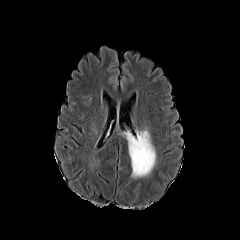
FLAIR magnetic resonance.
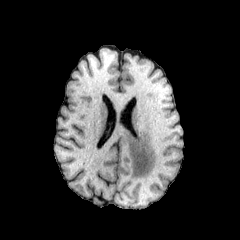
T1-weighted magnetic resonance of the same slice.
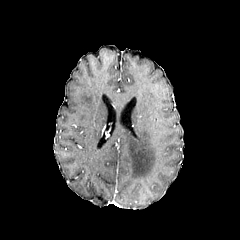
Post-contrast T1-weighted magnetic resonance.
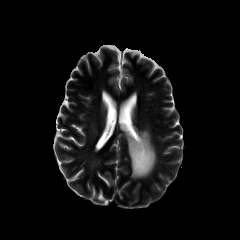
T2-weighted magnetic resonance.
Image size 240x240. Brain.
peritumoral edema: bbox(125, 130, 156, 177)